Brain. Image width 240 mm, 1.00 mm slice spacing. Slice 40 of 155.
FLAIR MR.
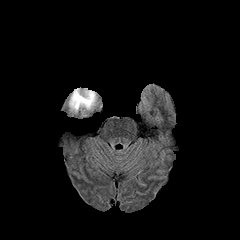
T1-weighted MRI.
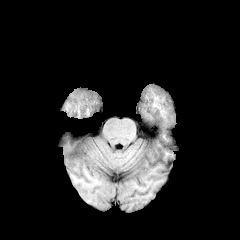
Post-contrast T1-weighted MR.
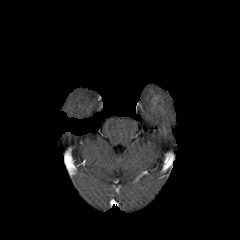
T2-weighted MRI.
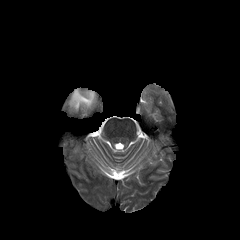
peritumoral_edema:
  - [x1=69, y1=88, x2=95, y2=112]